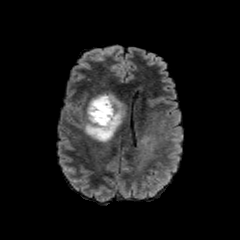
FLAIR MRI.
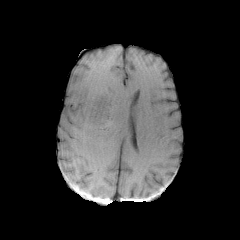
T1-weighted MR.
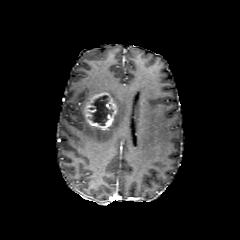
Same slice, post-contrast T1-weighted MRI.
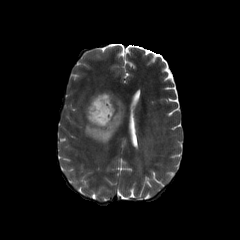
T2-weighted MR image.
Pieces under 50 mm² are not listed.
necrotic_tumor_core:
  - 89, 95, 113, 125
peritumoral_edema:
  - 135, 112, 179, 173
  - 84, 93, 124, 142
enhancing_tumor:
  - 84, 92, 116, 130